Slice index 110; Axial plane; Brain; 240x240 px; Image width 240 mm
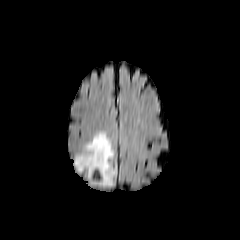
FLAIR MRI.
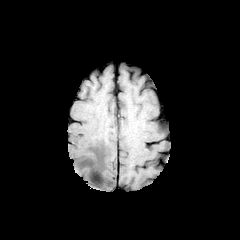
T1-weighted MR.
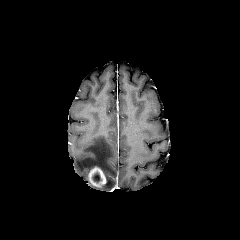
Post-contrast T1-weighted MR.
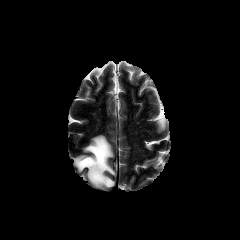
T2-weighted MR image.
necrotic tumor core: <bbox>93, 173, 100, 182</bbox>
peritumoral edema: <bbox>73, 133, 116, 187</bbox>
enhancing tumor: <bbox>87, 166, 107, 187</bbox>